FLAIR MR image.
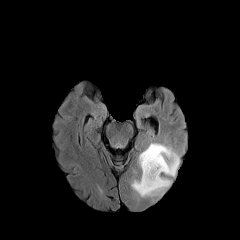
T1-weighted MRI.
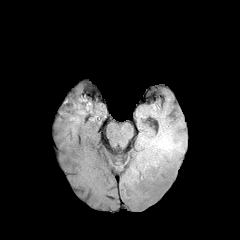
Post-contrast T1-weighted MR.
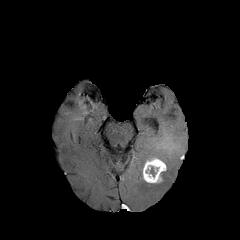
T2-weighted MR.
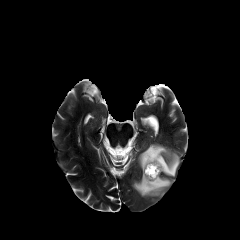
240x240 px; Axial plane
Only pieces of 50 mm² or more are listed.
necrotic tumor core: bounding box 145 165 160 177
peritumoral edema: bounding box 131 143 180 197
enhancing tumor: bounding box 143 158 166 183